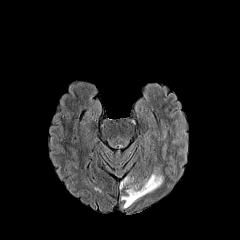
FLAIR MRI.
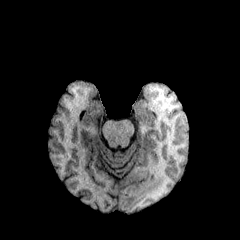
T1-weighted MR image.
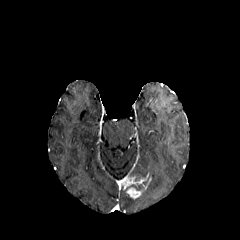
Post-contrast T1-weighted MR.
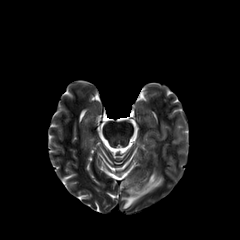
T2-weighted MRI.
Axial plane, Image size 240x240, Brain
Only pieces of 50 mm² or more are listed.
peritumoral edema: bounding box (121,170,163,208)
enhancing tumor: bounding box (119,175,151,199)